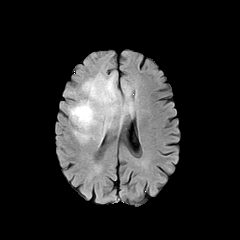
FLAIR magnetic resonance.
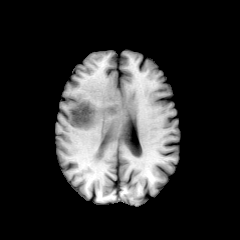
T1-weighted magnetic resonance of the same slice.
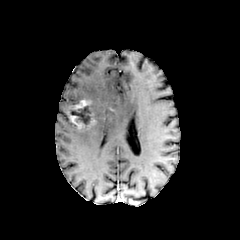
Same slice, post-contrast T1-weighted MR.
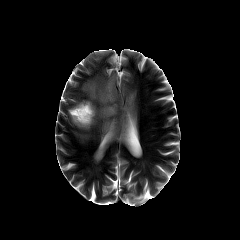
Same slice, T2-weighted magnetic resonance.
Axial plane.
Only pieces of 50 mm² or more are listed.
necrotic tumor core: (68, 106, 91, 127) | peritumoral edema: (73, 73, 134, 142) | enhancing tumor: (68, 112, 85, 128), (70, 100, 91, 110), (88, 107, 95, 126)